Image width 240 mm, 240x240, Slice index 37
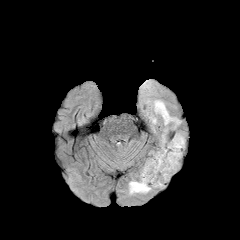
FLAIR MRI.
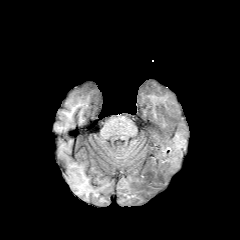
T1-weighted magnetic resonance.
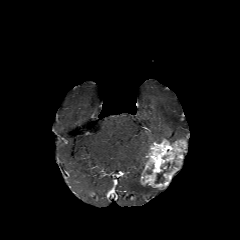
Post-contrast T1-weighted MRI.
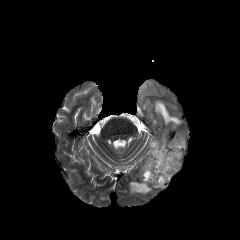
T2-weighted MR image.
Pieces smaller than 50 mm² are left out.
peritumoral edema: (154, 100, 181, 125), (129, 181, 151, 194)
necrotic tumor core: (155, 170, 167, 183)
enhancing tumor: (140, 138, 186, 189)